FLAIR MR image.
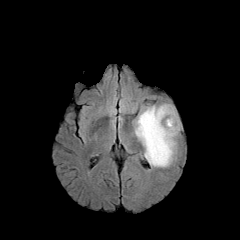
T1-weighted MR image.
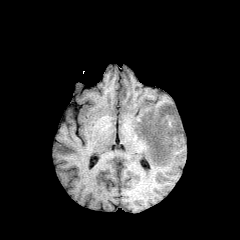
Post-contrast T1-weighted magnetic resonance.
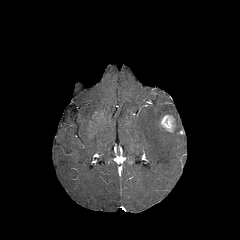
T2-weighted magnetic resonance.
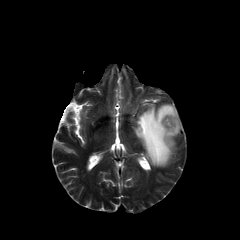
Image size 240x240 | Brain | Axial slice
The peritumoral edema is at [134,104,181,167]. The enhancing tumor lies within [160,114,175,132].